FLAIR MR.
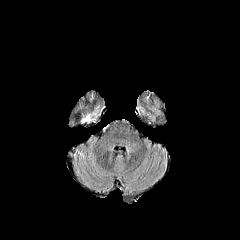
T1-weighted magnetic resonance.
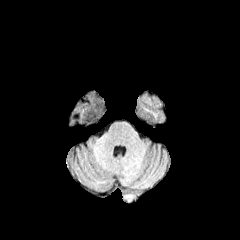
Post-contrast T1-weighted magnetic resonance.
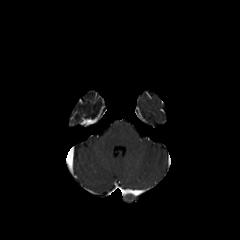
T2-weighted magnetic resonance.
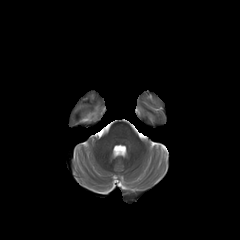
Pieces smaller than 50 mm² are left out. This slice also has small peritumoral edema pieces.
enhancing tumor: rect(82, 117, 97, 125)